Slice 137 of 155.
FLAIR MR.
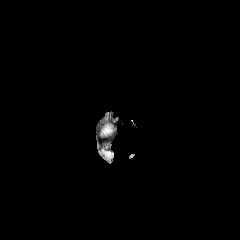
T1-weighted MR image.
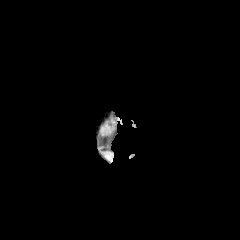
Post-contrast T1-weighted magnetic resonance.
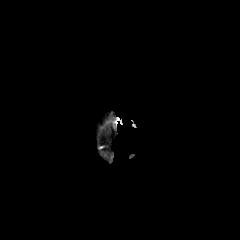
T2-weighted magnetic resonance.
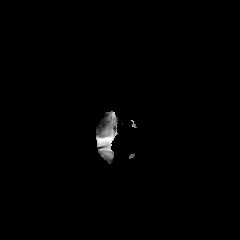
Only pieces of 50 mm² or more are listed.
{"peritumoral_edema": ["102,126,111,134"]}